Slice 70/155, Image size 240x240, Axial slice
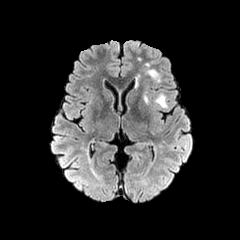
FLAIR magnetic resonance.
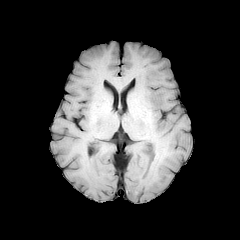
Same slice, T1-weighted MR image.
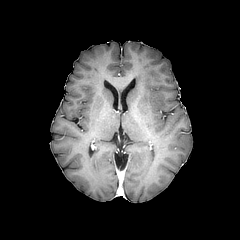
Post-contrast T1-weighted MR.
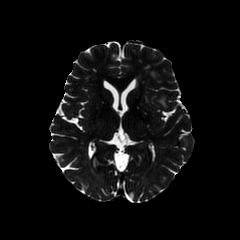
Same slice, T2-weighted magnetic resonance.
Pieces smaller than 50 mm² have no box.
- peritumoral edema: rect(155, 94, 166, 107); rect(148, 70, 159, 81)